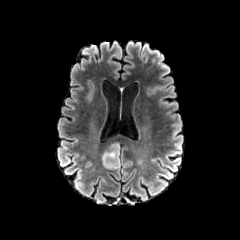
FLAIR MR.
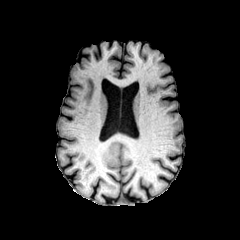
T1-weighted magnetic resonance.
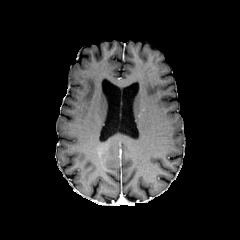
Same slice, post-contrast T1-weighted magnetic resonance.
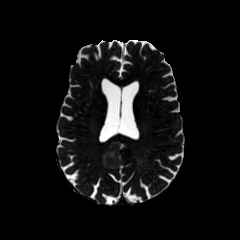
T2-weighted MR.
Head
peritumoral edema at x1=102, y1=141, x2=120, y2=168